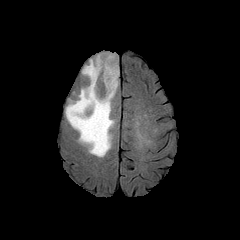
FLAIR MRI.
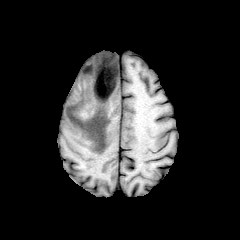
Same slice, T1-weighted magnetic resonance.
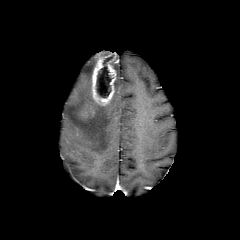
Post-contrast T1-weighted magnetic resonance.
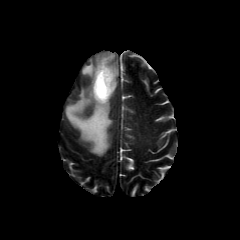
T2-weighted magnetic resonance.
Axial slice, Head
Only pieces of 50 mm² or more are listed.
enhancing tumor — x1=91 y1=51 x2=118 y2=105
peritumoral edema — x1=65 y1=57 x2=119 y2=156
necrotic tumor core — x1=96 y1=66 x2=111 y2=97